Brain
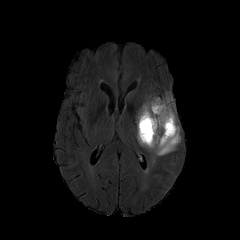
FLAIR magnetic resonance.
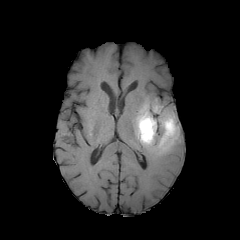
T1-weighted MR.
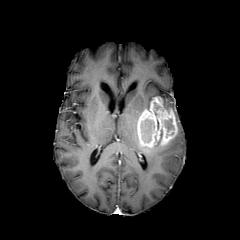
Post-contrast T1-weighted magnetic resonance of the same slice.
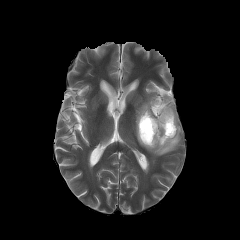
T2-weighted magnetic resonance.
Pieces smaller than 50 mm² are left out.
Segmented structures:
* peritumoral edema: region(144, 123, 180, 155); region(162, 93, 174, 110); region(136, 98, 152, 123)
* enhancing tumor: region(137, 97, 177, 147)
* necrotic tumor core: region(141, 119, 153, 141); region(165, 119, 173, 134)